240x240 px. Axial slice. Brain.
FLAIR MR.
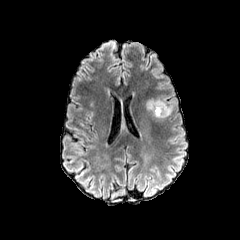
T1-weighted MR.
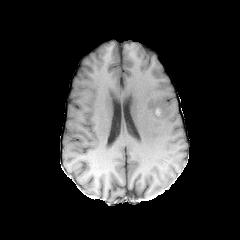
Post-contrast T1-weighted MR.
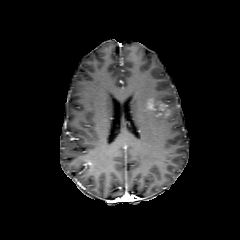
T2-weighted MR.
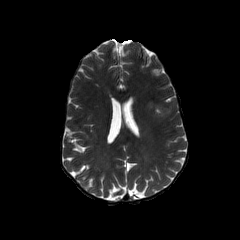
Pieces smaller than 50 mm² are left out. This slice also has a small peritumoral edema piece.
Findings:
* enhancing tumor: x1=146, y1=97, x2=170, y2=118